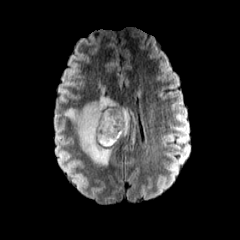
FLAIR MRI.
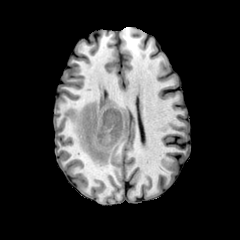
Same slice, T1-weighted MR.
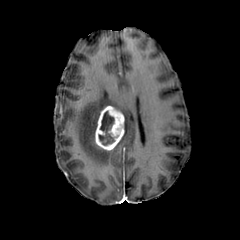
Post-contrast T1-weighted MRI.
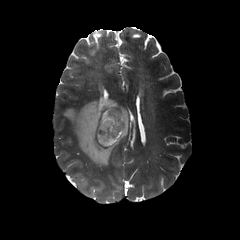
T2-weighted MR.
Head
necrotic tumor core: bounding box (98,110,116,145)
enhancing tumor: bounding box (94,106,124,150)
peritumoral edema: bounding box (64,84,134,165), (131,122,136,144)